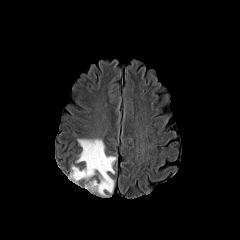
FLAIR MR image.
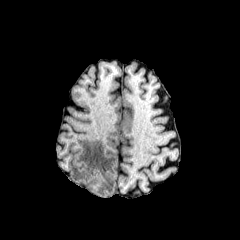
T1-weighted magnetic resonance.
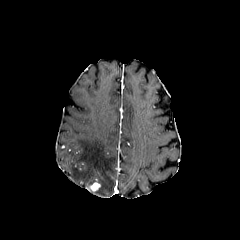
Post-contrast T1-weighted MR of the same slice.
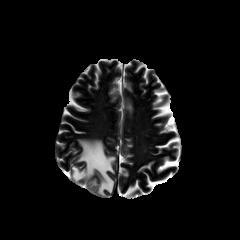
T2-weighted MR.
240x240
<segmentation>
  <peritumoral_edema>[70, 139, 116, 196]</peritumoral_edema>
  <enhancing_tumor>[86, 182, 100, 192]</enhancing_tumor>
</segmentation>